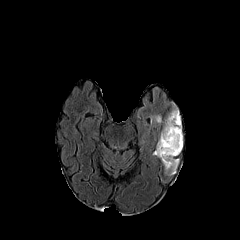
FLAIR MRI.
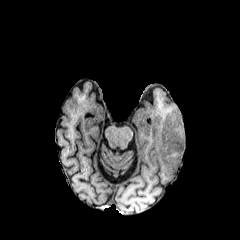
Same slice, T1-weighted MR.
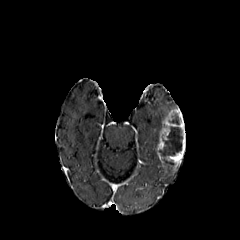
Post-contrast T1-weighted MR image of the same slice.
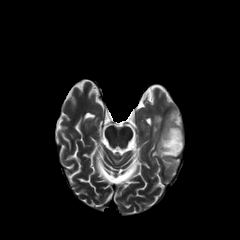
Same slice, T2-weighted MR.
Axial plane.
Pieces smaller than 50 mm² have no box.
peritumoral edema: bounding box x1=151 y1=115 x2=162 y2=128
enhancing tumor: bounding box x1=156 y1=108 x2=185 y2=173
necrotic tumor core: bounding box x1=159 y1=127 x2=182 y2=156, x1=163 y1=159 x2=174 y2=172, x1=169 y1=115 x2=179 y2=124